FLAIR magnetic resonance.
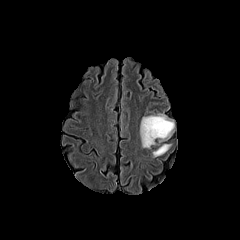
T1-weighted magnetic resonance.
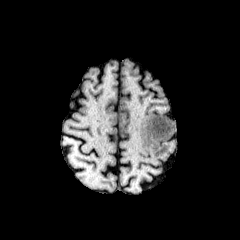
Post-contrast T1-weighted MR image.
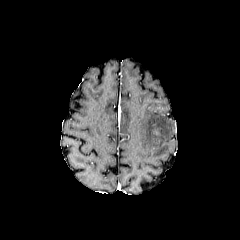
T2-weighted MRI.
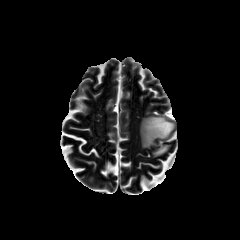
Head. Axial plane.
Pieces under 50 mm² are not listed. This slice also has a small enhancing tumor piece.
2 peritumoral edema regions are bounded by 140:114:174:148, 153:144:170:157.